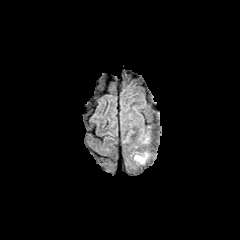
FLAIR MRI.
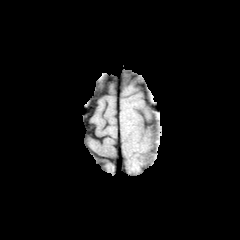
T1-weighted MR image.
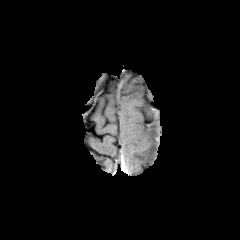
Post-contrast T1-weighted MRI.
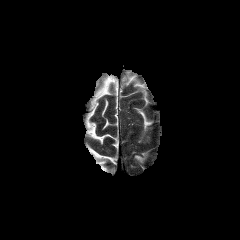
T2-weighted MR.
{
  "peritumoral_edema": [
    "x1=134 y1=153 x2=147 y2=163"
  ]
}